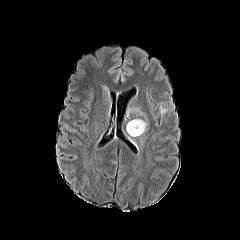
FLAIR MR image.
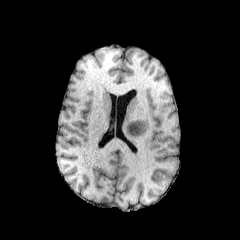
T1-weighted MR image of the same slice.
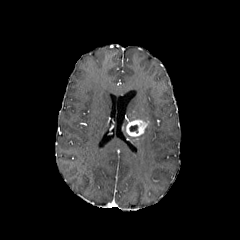
Same slice, post-contrast T1-weighted MR image.
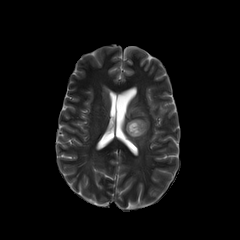
T2-weighted MRI of the same slice.
Axial slice, Head
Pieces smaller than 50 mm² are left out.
Segmented structures:
• necrotic tumor core: box=[129, 125, 137, 132]
• peritumoral edema: box=[127, 108, 144, 116]; box=[159, 104, 167, 114]
• enhancing tumor: box=[126, 119, 148, 136]